FLAIR MR image.
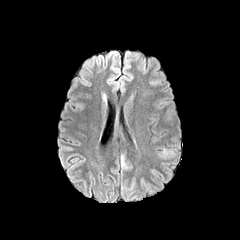
T1-weighted MR image.
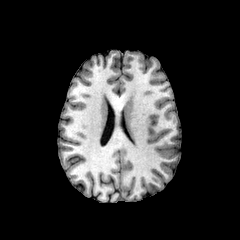
Post-contrast T1-weighted MR.
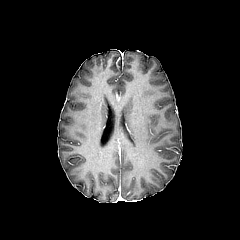
T2-weighted magnetic resonance.
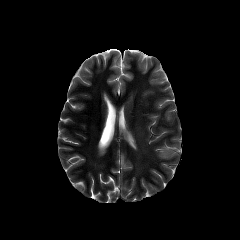
Head, Axial plane
peritumoral edema: bbox=[161, 149, 172, 158]